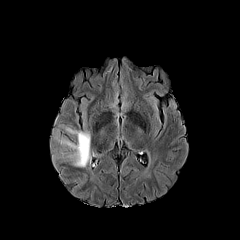
FLAIR MR.
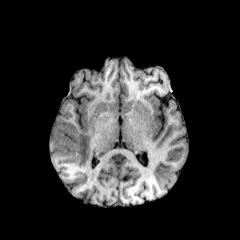
T1-weighted MRI of the same slice.
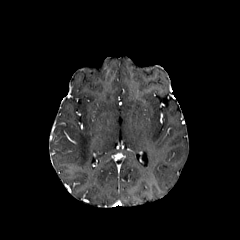
Same slice, post-contrast T1-weighted MR image.
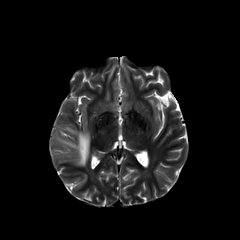
T2-weighted magnetic resonance of the same slice.
Head. Image size 240x240.
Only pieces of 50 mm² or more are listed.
peritumoral edema: 54, 127, 91, 167